FLAIR magnetic resonance.
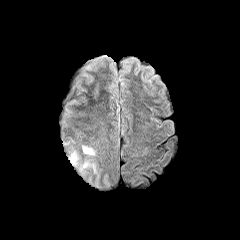
T1-weighted MR image.
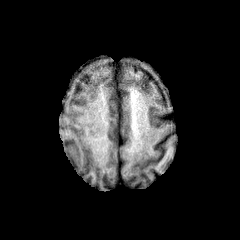
Post-contrast T1-weighted MR.
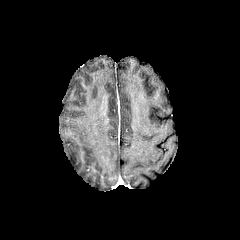
T2-weighted magnetic resonance.
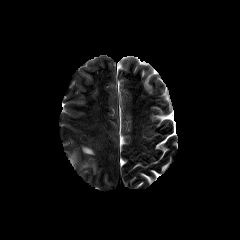
Axial plane; Head
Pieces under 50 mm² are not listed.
<segmentation>
  <peritumoral_edema>box(82, 146, 94, 154); box(69, 153, 77, 164)</peritumoral_edema>
</segmentation>